Axial plane
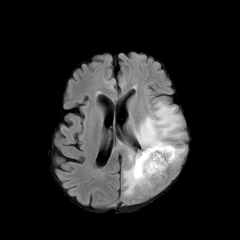
FLAIR MR.
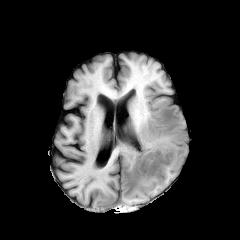
T1-weighted MRI.
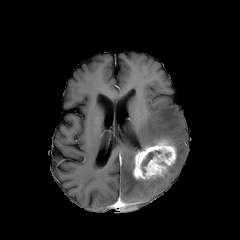
Same slice, post-contrast T1-weighted MR image.
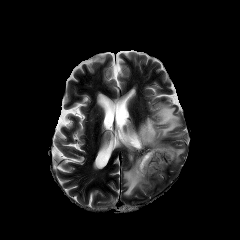
T2-weighted MR image.
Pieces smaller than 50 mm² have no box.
enhancing tumor at (133, 140, 176, 180)
necrotic tumor core at (142, 152, 153, 166)
peritumoral edema at (134, 102, 184, 149), (123, 148, 151, 196), (174, 147, 185, 163)